Slice index 71, 240x240, Axial slice
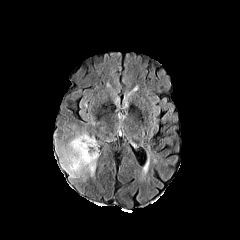
FLAIR MR image.
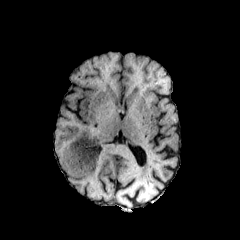
T1-weighted MRI.
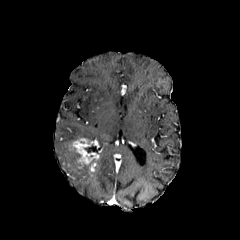
Same slice, post-contrast T1-weighted MR image.
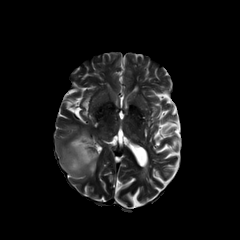
T2-weighted MR of the same slice.
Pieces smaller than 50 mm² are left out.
necrotic tumor core: 85, 145, 97, 152 | enhancing tumor: 74, 139, 98, 168 | peritumoral edema: 60, 132, 97, 179